FLAIR MRI.
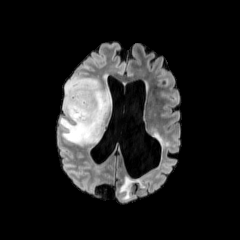
T1-weighted MRI.
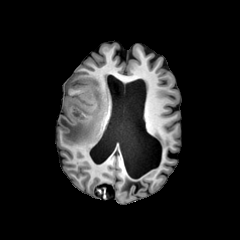
Post-contrast T1-weighted MR.
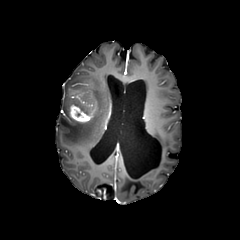
T2-weighted MRI.
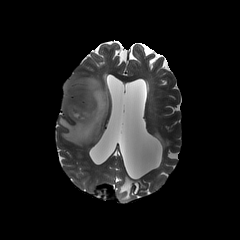
Axial slice, Head, 240x240 px
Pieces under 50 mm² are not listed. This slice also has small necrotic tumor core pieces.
enhancing tumor: 69 93 96 122
peritumoral edema: 59 76 111 145